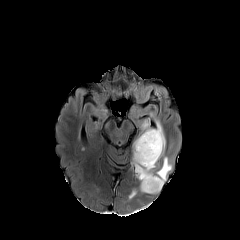
FLAIR MR.
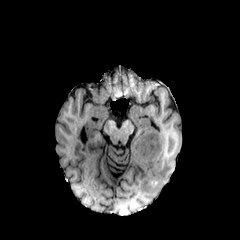
Same slice, T1-weighted MR.
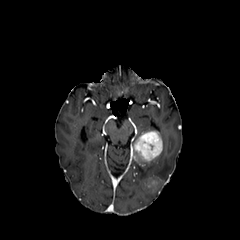
Same slice, post-contrast T1-weighted MR.
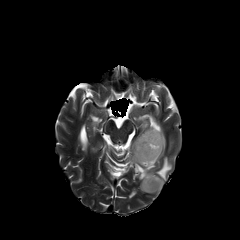
T2-weighted MR image of the same slice.
Head.
enhancing tumor: (left=144, top=177, right=161, bottom=191), (left=133, top=130, right=162, bottom=165) | peritumoral edema: (left=133, top=121, right=171, bottom=193)